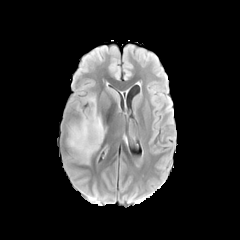
FLAIR MRI.
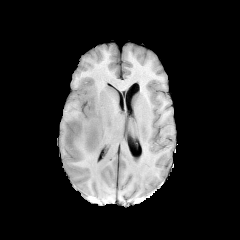
Same slice, T1-weighted MR.
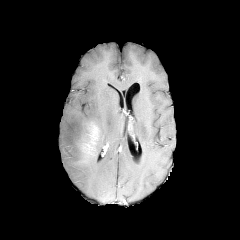
Post-contrast T1-weighted MR image of the same slice.
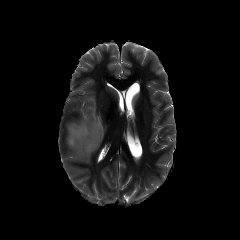
T2-weighted magnetic resonance.
Axial slice
enhancing tumor: region(81, 122, 100, 155) | peritumoral edema: region(67, 96, 105, 163)